FLAIR magnetic resonance.
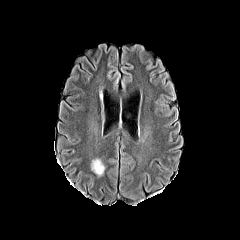
T1-weighted MRI.
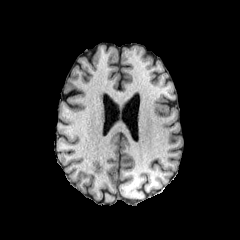
Post-contrast T1-weighted magnetic resonance.
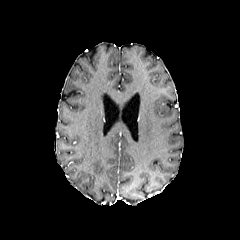
T2-weighted MRI.
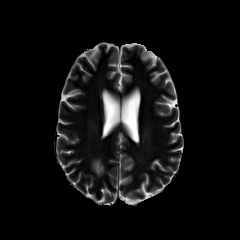
Axial plane
peritumoral edema — x1=92, y1=159, x2=104, y2=175